240x240 px | Image width 240 mm | Axial slice | Slice 50 of 155
FLAIR magnetic resonance.
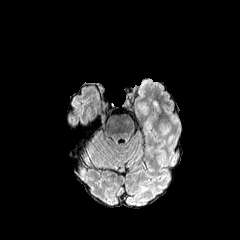
T1-weighted MR.
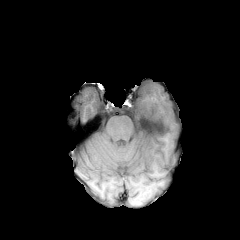
Post-contrast T1-weighted MRI.
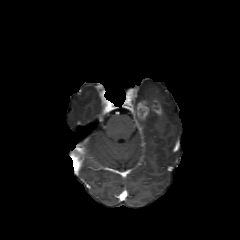
T2-weighted MR.
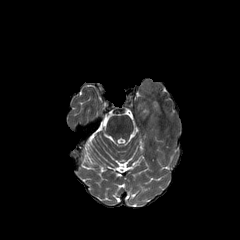
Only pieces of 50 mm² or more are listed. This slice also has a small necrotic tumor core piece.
<segmentation>
  <enhancing_tumor><bbox>152, 101, 161, 115</bbox>, <bbox>135, 101, 149, 119</bbox></enhancing_tumor>
</segmentation>